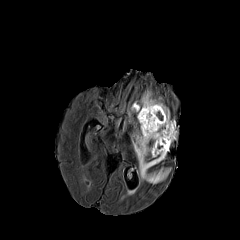
FLAIR magnetic resonance.
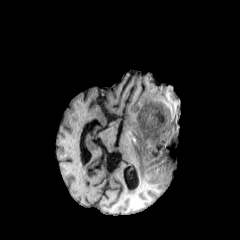
T1-weighted MR image.
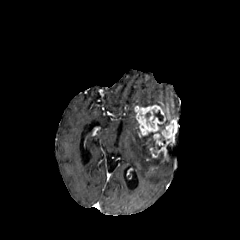
Same slice, post-contrast T1-weighted MRI.
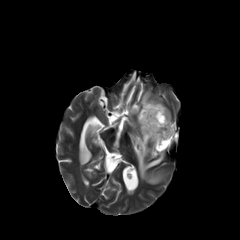
T2-weighted MR of the same slice.
Axial view | Brain
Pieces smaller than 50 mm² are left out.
The enhancing tumor is located at [134,104,177,157]. The 2 largest peritumoral edema regions appear at [129,90,162,116], [132,132,170,184]. The largest necrotic tumor core region lies within [154,110,163,121].